Slice 79/155.
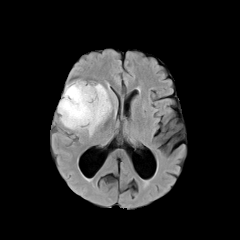
FLAIR MR.
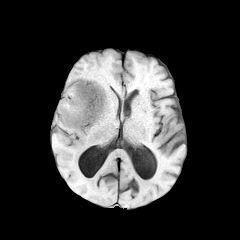
T1-weighted MR.
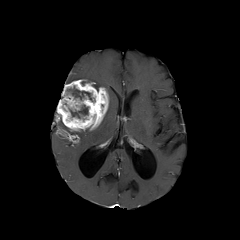
Same slice, post-contrast T1-weighted MRI.
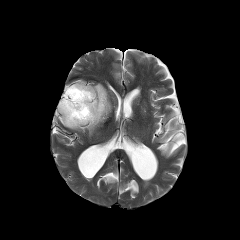
T2-weighted MRI of the same slice.
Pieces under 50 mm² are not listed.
Findings:
• enhancing tumor: (left=57, top=80, right=108, bottom=131)
• necrotic tumor core: (left=67, top=87, right=91, bottom=99), (left=70, top=105, right=87, bottom=117)
• peritumoral edema: (left=101, top=95, right=111, bottom=123)